Brain
FLAIR MR image.
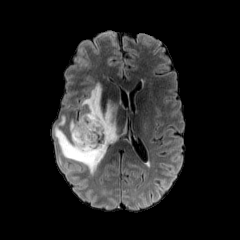
T1-weighted MR.
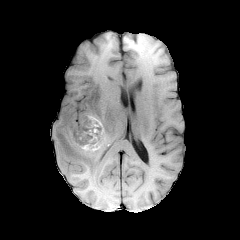
Post-contrast T1-weighted MR.
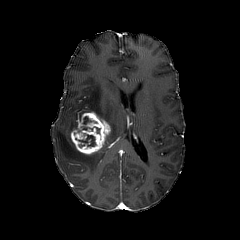
T2-weighted MRI.
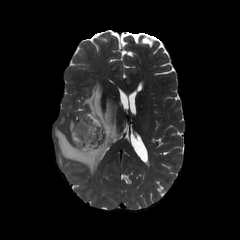
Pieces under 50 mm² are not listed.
The largest enhancing tumor region lies within 71:112:111:154. The peritumoral edema is bounded by 54:83:118:174. The 3 largest necrotic tumor core regions are located at 74:125:92:134, 79:133:96:146, 83:116:98:124.